FLAIR MR image.
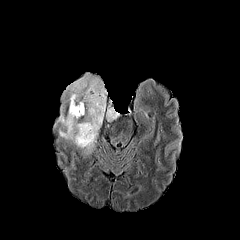
T1-weighted MRI.
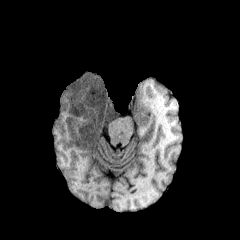
Post-contrast T1-weighted MR.
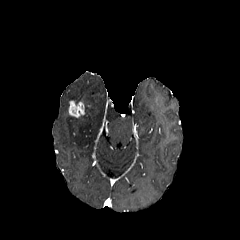
T2-weighted magnetic resonance.
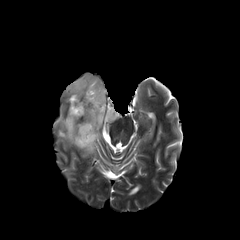
Axial slice | Image size 240x240
enhancing_tumor:
  - 68:100:84:117
peritumoral_edema:
  - 57:73:106:152
  - 106:105:118:121